Head.
FLAIR MR.
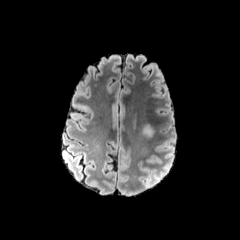
T1-weighted MR image.
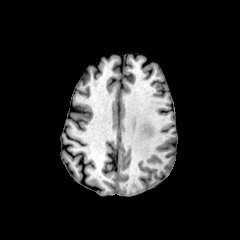
Post-contrast T1-weighted MR image.
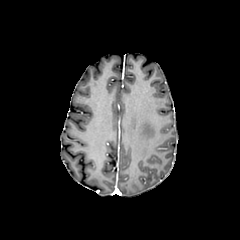
T2-weighted MR.
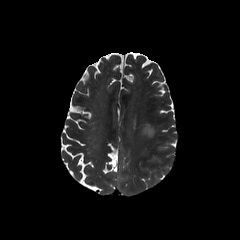
{"peritumoral_edema": ["(x1=144, y1=127, x2=151, y2=135)"]}